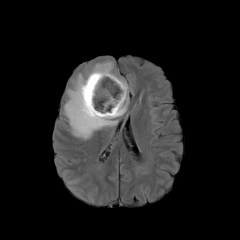
FLAIR MR image.
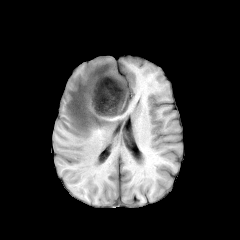
T1-weighted magnetic resonance.
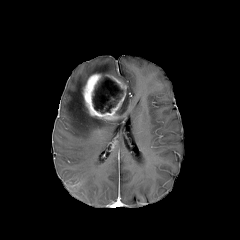
Same slice, post-contrast T1-weighted magnetic resonance.
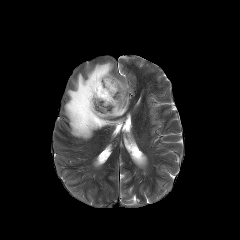
Same slice, T2-weighted MR.
240x240
The peritumoral edema is located at box(64, 60, 130, 139). The necrotic tumor core is located at box(92, 77, 123, 113). The enhancing tumor is at box(82, 73, 127, 120).